Slice 102 of 155; Head
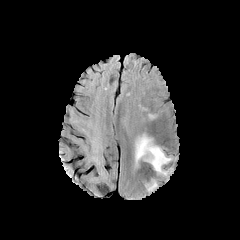
FLAIR MR.
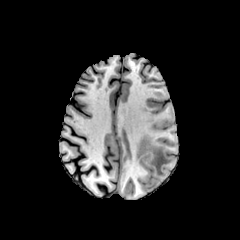
Same slice, T1-weighted magnetic resonance.
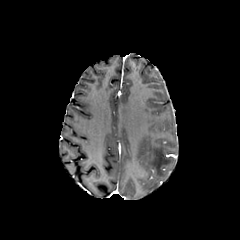
Same slice, post-contrast T1-weighted MR image.
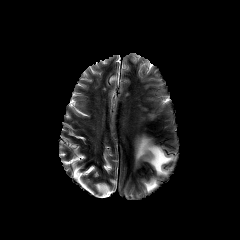
T2-weighted MR image of the same slice.
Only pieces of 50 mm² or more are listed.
<segmentation>
  <peritumoral_edema>box(135, 134, 172, 175); box(146, 180, 157, 191)</peritumoral_edema>
</segmentation>